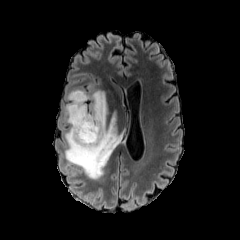
FLAIR magnetic resonance.
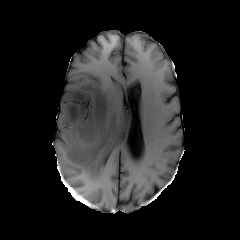
T1-weighted MR of the same slice.
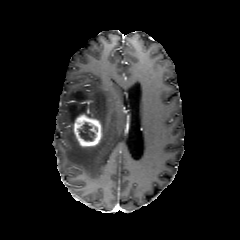
Same slice, post-contrast T1-weighted MRI.
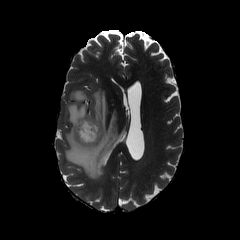
Same slice, T2-weighted magnetic resonance.
Axial slice
peritumoral edema: bounding box region(64, 89, 124, 179)
enhancing tumor: bounding box region(73, 113, 102, 147)
necrotic tumor core: bounding box region(79, 123, 94, 140)